FLAIR magnetic resonance.
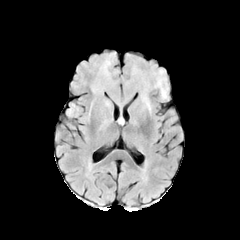
T1-weighted MRI.
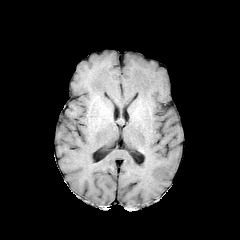
Post-contrast T1-weighted MR.
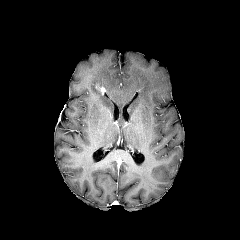
T2-weighted MR.
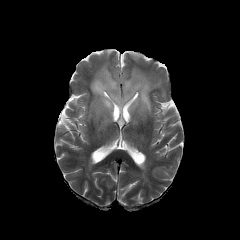
Image size 240x240; Axial slice; Brain
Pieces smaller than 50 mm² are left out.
peritumoral edema: <bbox>91, 57, 166, 113</bbox> | enhancing tumor: <bbox>96, 84, 105, 94</bbox>